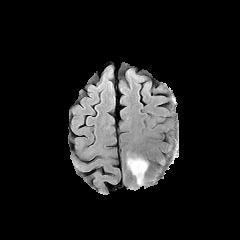
FLAIR magnetic resonance.
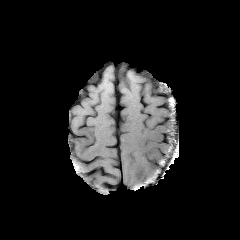
T1-weighted MR image.
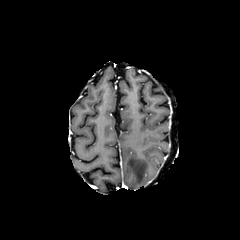
Post-contrast T1-weighted magnetic resonance.
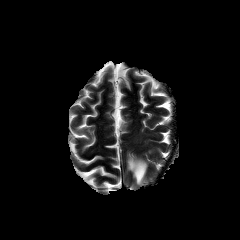
T2-weighted MR.
Brain, 240x240 px
peritumoral_edema:
  - box(127, 156, 147, 185)